Axial plane; 240x240
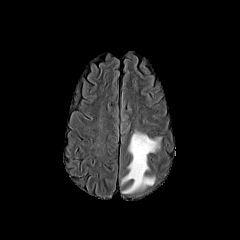
FLAIR MRI.
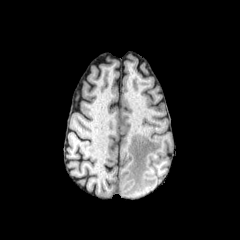
T1-weighted MRI.
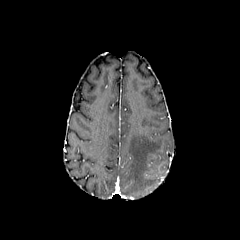
Post-contrast T1-weighted MR.
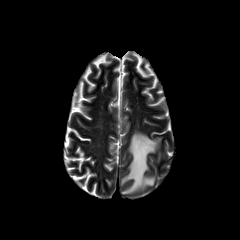
T2-weighted MR image.
peritumoral_edema:
  - region(121, 131, 161, 193)